Axial plane. Brain.
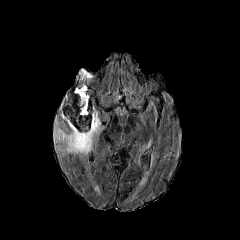
FLAIR MR image.
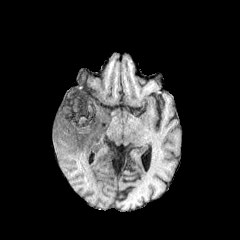
T1-weighted MR image.
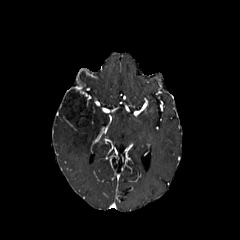
Post-contrast T1-weighted MR image.
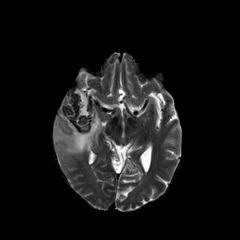
T2-weighted MRI of the same slice.
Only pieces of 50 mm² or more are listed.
Annotated regions:
* enhancing tumor: x1=62, y1=112, x2=76, y2=130; x1=75, y1=86, x2=89, y2=106
* peritumoral edema: x1=53, y1=111, x2=100, y2=155
* necrotic tumor core: x1=62, y1=89, x2=92, y2=131